FLAIR MRI.
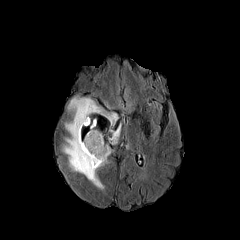
T1-weighted magnetic resonance.
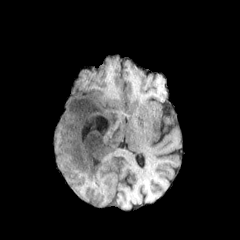
Post-contrast T1-weighted MR.
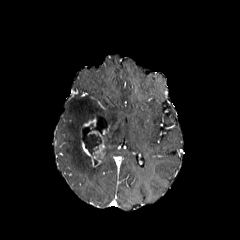
T2-weighted MR image.
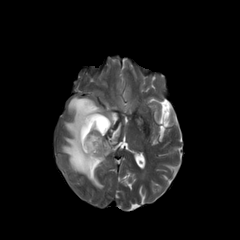
Axial plane
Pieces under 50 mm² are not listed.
The 2 largest enhancing tumor regions appear at box=[84, 119, 96, 126]; box=[82, 130, 105, 167]. The 2 largest peritumoral edema regions are located at box=[62, 95, 118, 189]; box=[108, 124, 121, 144]. The largest necrotic tumor core region is located at box=[83, 134, 101, 155].